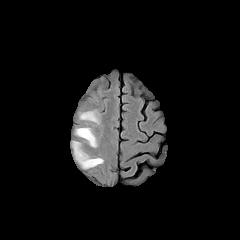
FLAIR magnetic resonance.
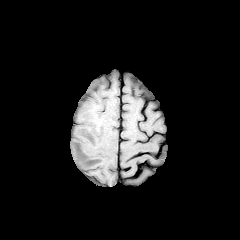
Same slice, T1-weighted MR image.
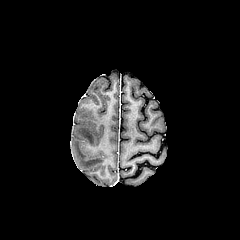
Post-contrast T1-weighted magnetic resonance.
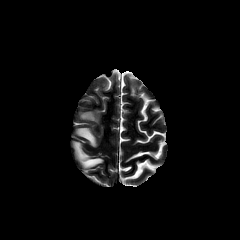
T2-weighted magnetic resonance.
Axial view | Head | 240x240 px
3 peritumoral edema regions are bounded by [80, 111, 98, 123], [73, 141, 103, 168], [76, 127, 97, 147].